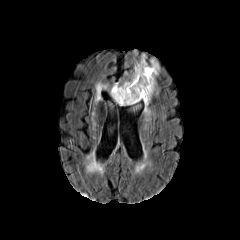
FLAIR MR.
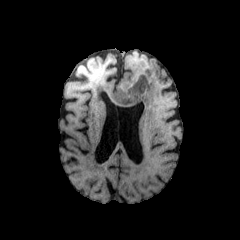
Same slice, T1-weighted MR image.
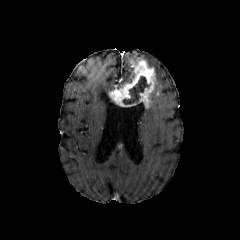
Post-contrast T1-weighted MR image.
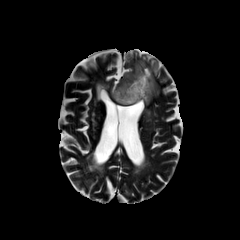
T2-weighted MR of the same slice.
Head, Axial slice
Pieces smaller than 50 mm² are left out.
peritumoral edema: box=[114, 68, 133, 86]; box=[131, 54, 146, 67]; box=[149, 58, 159, 76] | enhancing tumor: box=[109, 59, 156, 107] | necrotic tumor core: box=[123, 76, 149, 104]